FLAIR magnetic resonance.
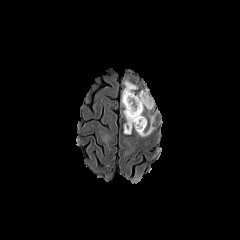
T1-weighted MR.
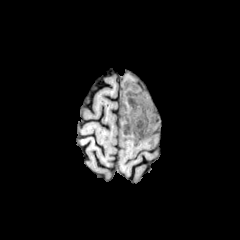
Post-contrast T1-weighted magnetic resonance.
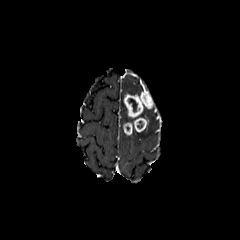
T2-weighted MR image.
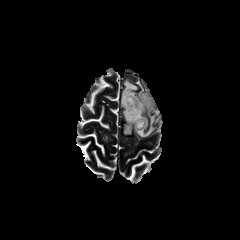
Head
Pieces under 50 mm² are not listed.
enhancing tumor: rect(124, 90, 154, 118); rect(123, 117, 147, 135)
necrotic tumor core: rect(129, 98, 137, 111)
peritumoral edema: rect(137, 106, 155, 136); rect(121, 79, 146, 122)